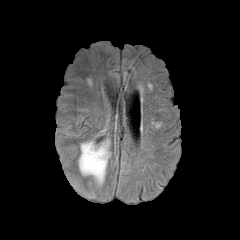
FLAIR magnetic resonance.
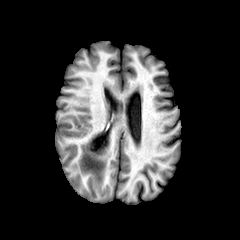
T1-weighted magnetic resonance of the same slice.
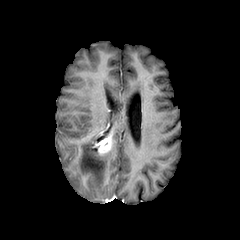
Post-contrast T1-weighted MRI.
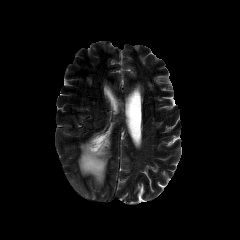
T2-weighted MRI.
Axial plane; 240x240
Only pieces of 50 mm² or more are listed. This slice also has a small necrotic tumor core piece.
peritumoral_edema:
  - left=78, top=133, right=110, bottom=185
enhancing_tumor:
  - left=92, top=135, right=111, bottom=155